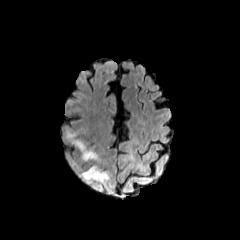
FLAIR MR.
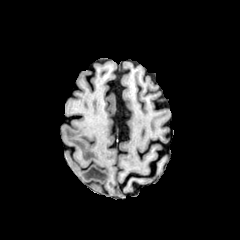
T1-weighted MRI of the same slice.
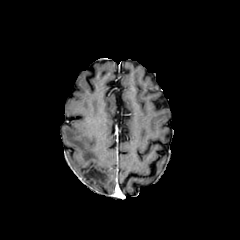
Same slice, post-contrast T1-weighted MR.
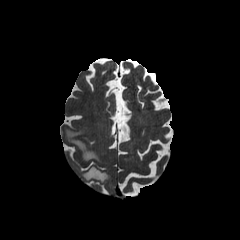
T2-weighted magnetic resonance of the same slice.
Image size 240x240
2 peritumoral edema regions appear at (81, 166, 109, 184), (66, 129, 98, 160).